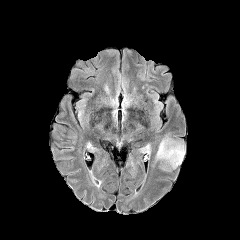
FLAIR magnetic resonance.
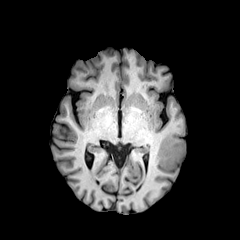
T1-weighted MRI of the same slice.
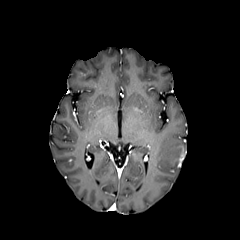
Post-contrast T1-weighted MR image.
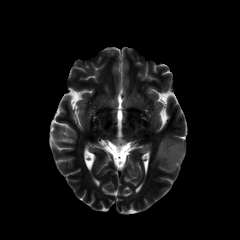
T2-weighted MR image.
Axial slice
peritumoral edema = x1=156, y1=138, x2=184, y2=167
enhancing tumor = x1=178, y1=150, x2=185, y2=165